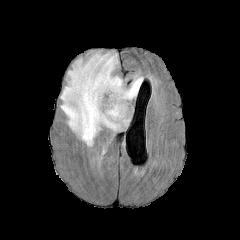
FLAIR MR image.
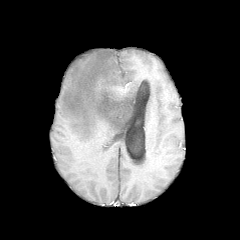
T1-weighted magnetic resonance.
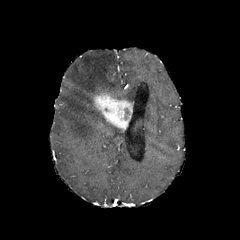
Post-contrast T1-weighted MR of the same slice.
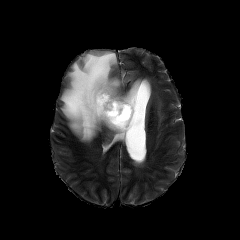
T2-weighted MRI of the same slice.
240x240 px, Brain, Axial plane
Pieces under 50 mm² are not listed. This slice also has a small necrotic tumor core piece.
{
  "peritumoral_edema": [
    "[60, 51, 142, 146]"
  ],
  "enhancing_tumor": [
    "[92, 90, 133, 130]"
  ]
}